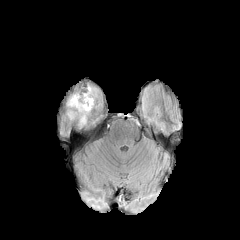
FLAIR MRI.
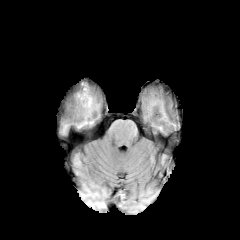
T1-weighted MR image.
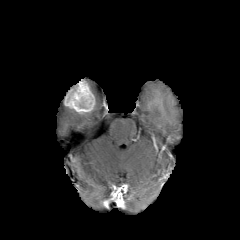
Post-contrast T1-weighted MRI of the same slice.
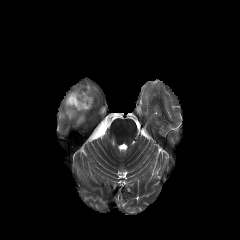
Same slice, T2-weighted MR.
Head
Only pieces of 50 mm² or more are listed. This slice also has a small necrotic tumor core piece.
<segmentation>
  <peritumoral_edema>66:107:88:123</peritumoral_edema>
  <enhancing_tumor>64:82:94:113</enhancing_tumor>
</segmentation>